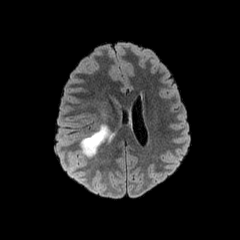
FLAIR MR image.
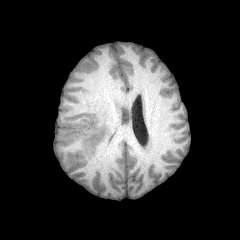
T1-weighted magnetic resonance of the same slice.
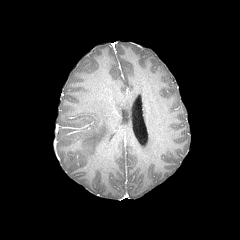
Post-contrast T1-weighted magnetic resonance.
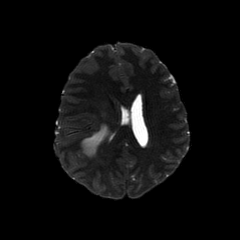
Same slice, T2-weighted MR.
Axial plane
Annotated regions:
- peritumoral edema: <box>81,124,113,157</box>